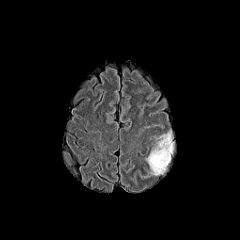
FLAIR MR image.
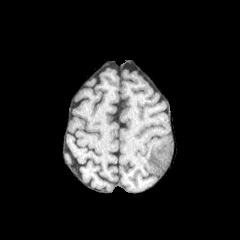
Same slice, T1-weighted MRI.
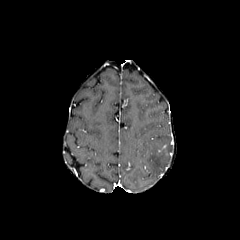
Post-contrast T1-weighted magnetic resonance.
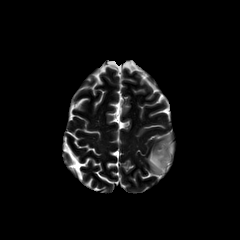
Same slice, T2-weighted MR.
Axial slice | Head
peritumoral edema — l=146, t=133, r=172, b=175